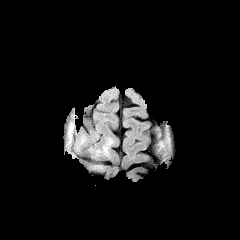
FLAIR MR.
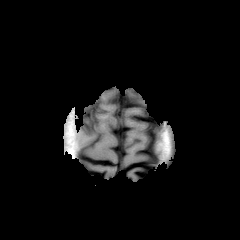
T1-weighted MR of the same slice.
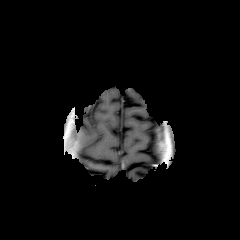
Post-contrast T1-weighted magnetic resonance.
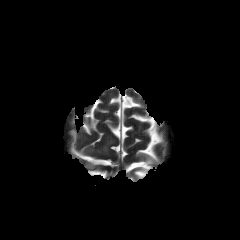
Same slice, T2-weighted MRI.
Head
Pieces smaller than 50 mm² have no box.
The largest peritumoral edema region is located at {"x1": 103, "y1": 139, "x2": 112, "y2": 154}.